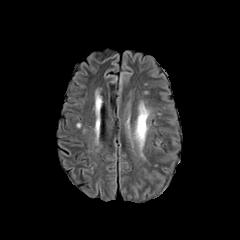
FLAIR magnetic resonance.
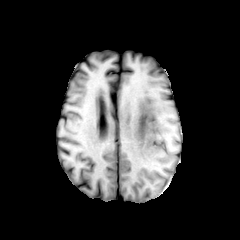
Same slice, T1-weighted MR.
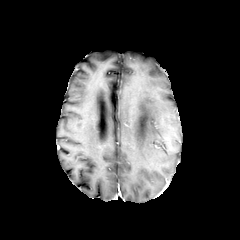
Post-contrast T1-weighted magnetic resonance.
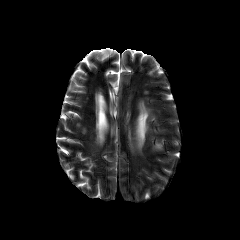
T2-weighted MR.
The peritumoral edema appears at [x1=135, y1=102, x2=148, y2=148].